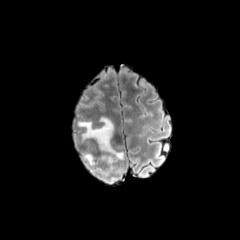
FLAIR MR image.
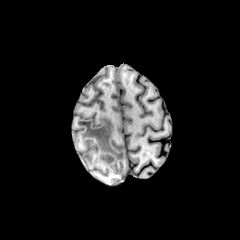
T1-weighted magnetic resonance.
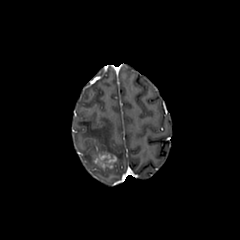
Post-contrast T1-weighted MRI.
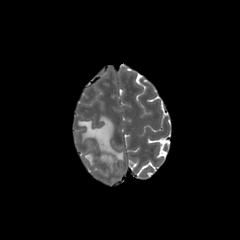
T2-weighted MR.
Brain
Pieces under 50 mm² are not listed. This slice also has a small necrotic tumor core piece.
<segmentation>
  <peritumoral_edema>92, 163, 119, 177; 77, 116, 124, 161; 85, 154, 97, 165</peritumoral_edema>
  <enhancing_tumor>94, 153, 116, 168</enhancing_tumor>
</segmentation>